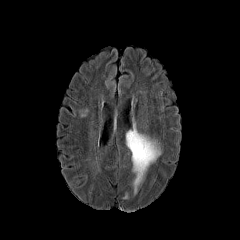
FLAIR MRI.
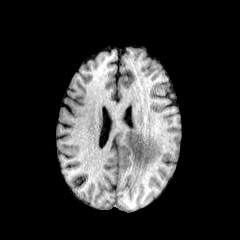
Same slice, T1-weighted MRI.
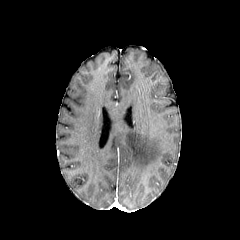
Post-contrast T1-weighted MR of the same slice.
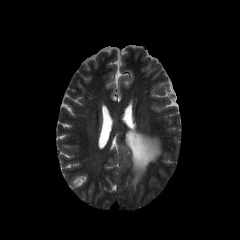
T2-weighted magnetic resonance.
Axial plane
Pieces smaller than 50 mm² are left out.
The largest peritumoral edema region is at region(126, 128, 161, 195).